240x240; Axial slice
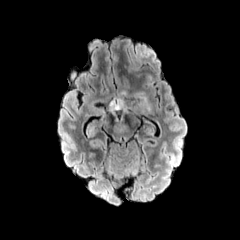
FLAIR magnetic resonance.
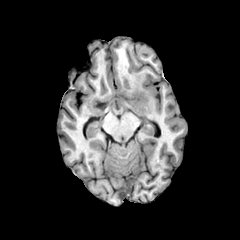
T1-weighted MRI.
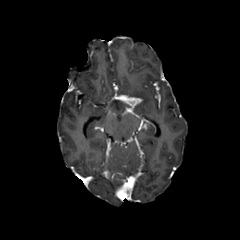
Same slice, post-contrast T1-weighted MR image.
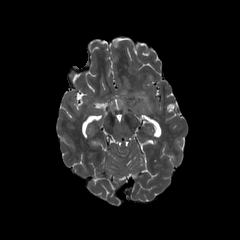
T2-weighted magnetic resonance.
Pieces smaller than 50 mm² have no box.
Segmented structures:
- enhancing tumor: {"x1": 115, "y1": 95, "x2": 141, "y2": 107}
- peritumoral edema: {"x1": 110, "y1": 99, "x2": 124, "y2": 109}, {"x1": 135, "y1": 92, "x2": 151, "y2": 111}